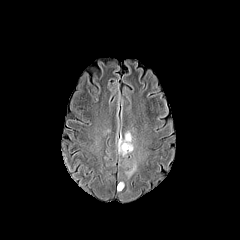
FLAIR MRI.
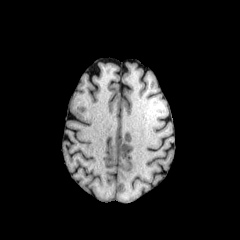
T1-weighted magnetic resonance.
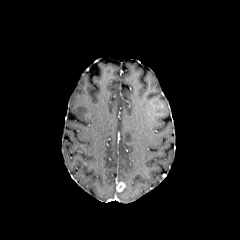
Post-contrast T1-weighted MR of the same slice.
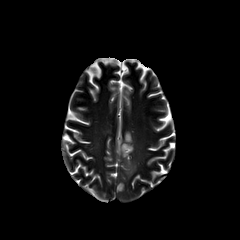
T2-weighted MR image of the same slice.
Head
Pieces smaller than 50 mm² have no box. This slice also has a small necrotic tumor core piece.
{"enhancing_tumor": ["[x1=117, y1=182, x2=124, y2=191]"], "peritumoral_edema": ["[x1=118, y1=131, x2=134, y2=157]", "[x1=125, y1=160, x2=136, y2=178]"]}